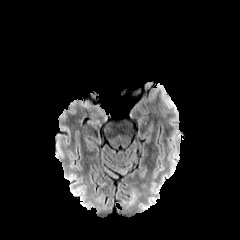
FLAIR magnetic resonance.
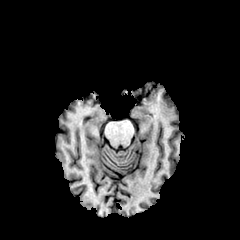
T1-weighted magnetic resonance.
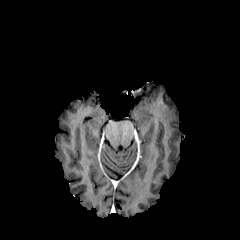
Post-contrast T1-weighted MR image of the same slice.
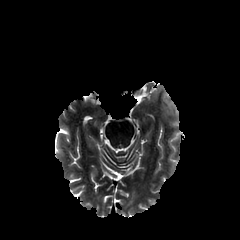
T2-weighted MRI.
Image size 240x240; Axial slice
peritumoral edema — (left=161, top=98, right=178, bottom=128)